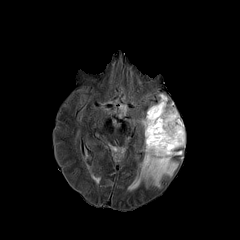
FLAIR MRI.
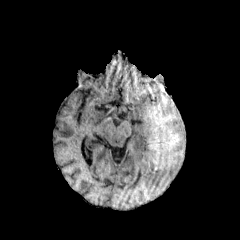
T1-weighted MRI of the same slice.
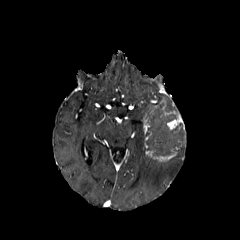
Post-contrast T1-weighted MR image of the same slice.
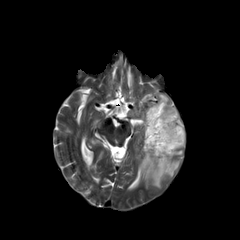
Same slice, T2-weighted MRI.
Axial plane
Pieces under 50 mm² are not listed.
{"necrotic_tumor_core": ["(145,105,184,156)"], "enhancing_tumor": ["(143,119,149,134)", "(164,111,184,131)", "(145,150,176,161)"], "peritumoral_edema": ["(157,94,167,107)", "(141,155,178,187)"]}